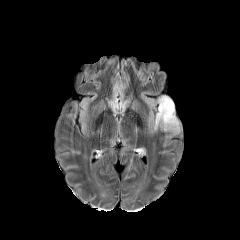
FLAIR MR image.
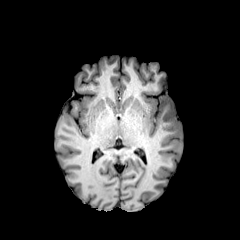
T1-weighted magnetic resonance.
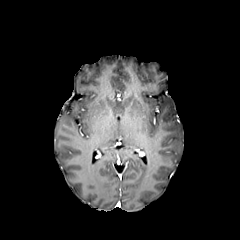
Post-contrast T1-weighted magnetic resonance.
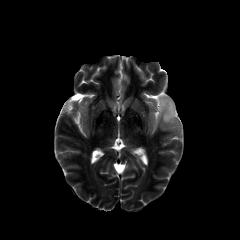
Same slice, T2-weighted MRI.
Axial view, Image size 240x240
peritumoral edema: x1=156 y1=96 x2=179 y2=132